FLAIR magnetic resonance.
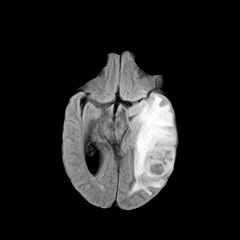
T1-weighted MR image.
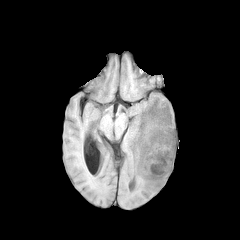
Post-contrast T1-weighted MR image.
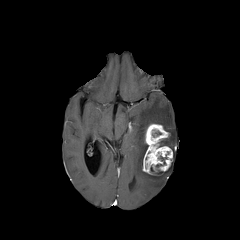
T2-weighted MR image.
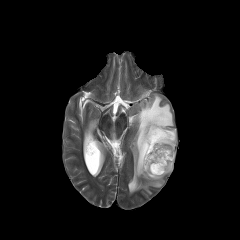
Axial view
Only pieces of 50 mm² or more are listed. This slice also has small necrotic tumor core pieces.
The largest peritumoral edema region lies within [x1=129, y1=94, x2=175, y2=194]. The enhancing tumor is at [x1=142, y1=123, x2=173, y2=175].